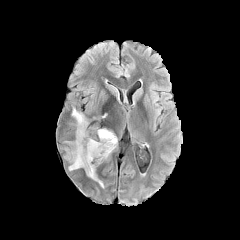
FLAIR magnetic resonance.
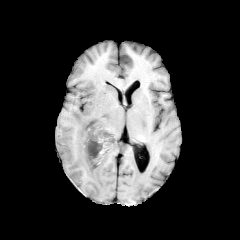
T1-weighted MRI.
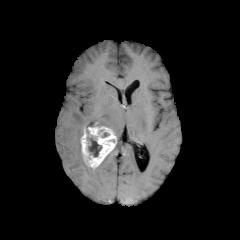
Same slice, post-contrast T1-weighted MR image.
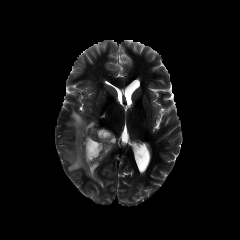
T2-weighted MR image.
Axial plane
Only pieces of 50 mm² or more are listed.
{"necrotic_tumor_core": ["region(87, 131, 101, 156)"], "enhancing_tumor": ["region(81, 122, 116, 170)"], "peritumoral_edema": ["region(64, 107, 103, 186)"]}